Brain; Image covers 240 mm x 240 mm
FLAIR MRI.
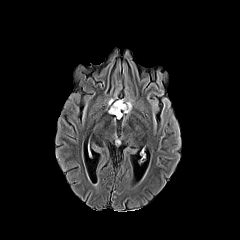
T1-weighted magnetic resonance.
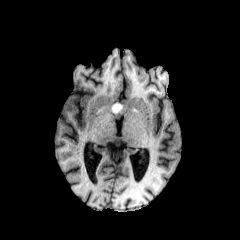
Post-contrast T1-weighted magnetic resonance.
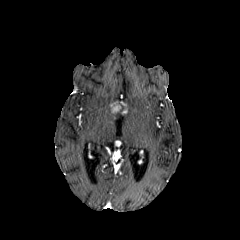
T2-weighted MRI.
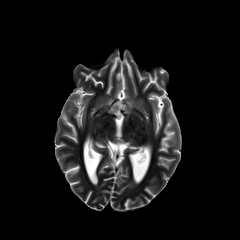
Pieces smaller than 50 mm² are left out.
peritumoral edema: bounding box box=[108, 98, 115, 114]; box=[126, 99, 132, 114]
necrotic tumor core: bounding box box=[112, 102, 124, 118]
enhancing tumor: bounding box box=[120, 101, 127, 113]